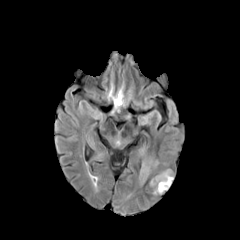
FLAIR MR.
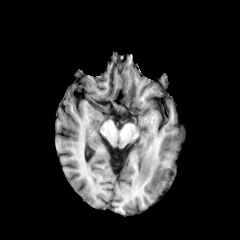
T1-weighted magnetic resonance.
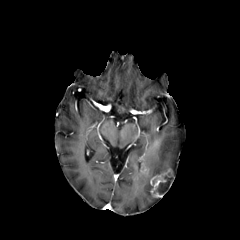
Post-contrast T1-weighted MR image of the same slice.
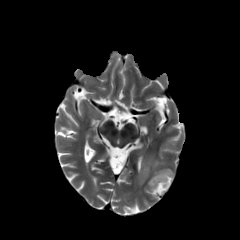
Same slice, T2-weighted magnetic resonance.
Image size 240x240; Axial plane
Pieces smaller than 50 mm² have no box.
enhancing tumor: bounding box [150,168,173,197]
necrotic tumor core: bounding box [157,176,173,193]
peritumoral edema: bounding box [138,155,166,183]